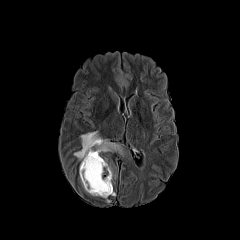
FLAIR magnetic resonance.
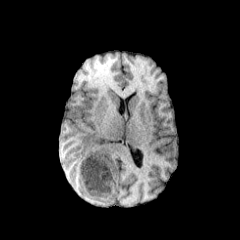
T1-weighted MR image of the same slice.
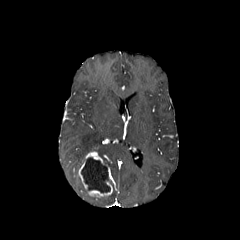
Post-contrast T1-weighted MRI of the same slice.
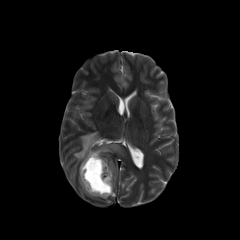
T2-weighted MR of the same slice.
240x240; Head
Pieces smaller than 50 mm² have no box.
The necrotic tumor core is located at [x1=81, y1=157, x2=110, y2=192]. The largest peritumoral edema region is bounded by [x1=74, y1=131, x2=121, y2=160]. The enhancing tumor is bounded by [x1=78, y1=151, x2=112, y2=197].